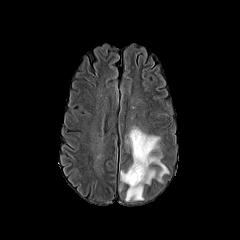
FLAIR magnetic resonance.
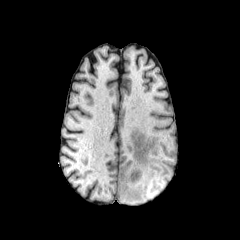
T1-weighted MR image of the same slice.
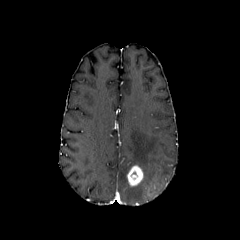
Post-contrast T1-weighted MR.
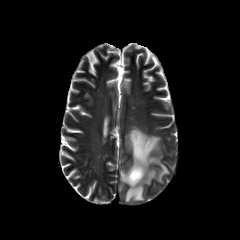
Same slice, T2-weighted MR.
Head; 240x240 px
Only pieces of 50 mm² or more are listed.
<segmentation>
  <peritumoral_edema>region(125, 127, 169, 201); region(120, 170, 127, 183)</peritumoral_edema>
  <enhancing_tumor>region(126, 164, 143, 186)</enhancing_tumor>
</segmentation>